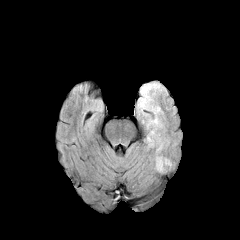
FLAIR MRI.
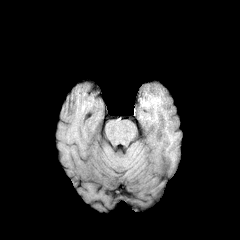
Same slice, T1-weighted MR.
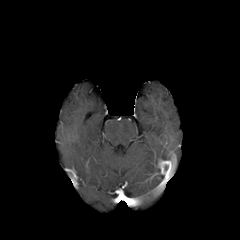
Post-contrast T1-weighted MRI.
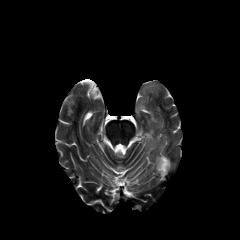
T2-weighted MRI.
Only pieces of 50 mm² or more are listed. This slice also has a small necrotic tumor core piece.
The enhancing tumor lies within x1=158 y1=159 x2=172 y2=173. The 3 largest peritumoral edema regions are bounded by x1=156 y1=156 x2=168 y2=172, x1=137 y1=82 x2=166 y2=123, x1=147 y1=131 x2=153 y2=146.